FLAIR MR.
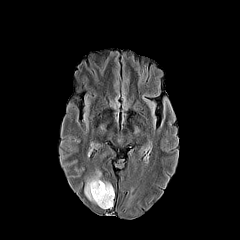
T1-weighted MR image.
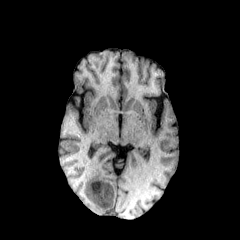
Post-contrast T1-weighted MR image.
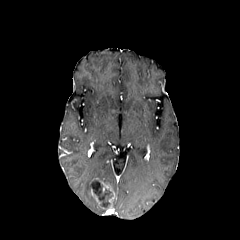
T2-weighted MRI.
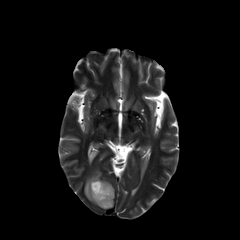
Axial slice
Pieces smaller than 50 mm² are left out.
Annotated regions:
• peritumoral edema: left=84, top=171, right=101, bottom=204
• enhancing tumor: left=89, top=178, right=114, bottom=208
• necrotic tumor core: left=91, top=180, right=112, bottom=206